FLAIR magnetic resonance.
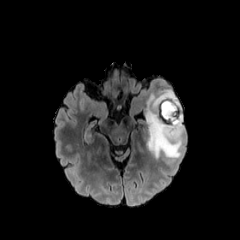
T1-weighted MR.
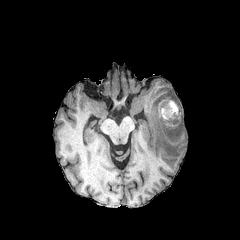
Post-contrast T1-weighted MRI.
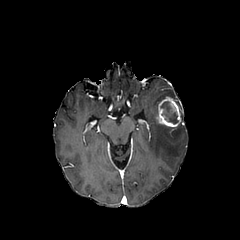
T2-weighted MR.
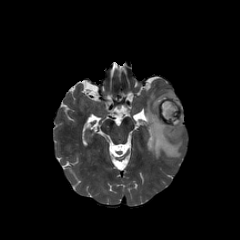
Head. Axial slice. 240x240 px.
necrotic tumor core: bounding box (left=160, top=101, right=178, bottom=124)
peritumoral edema: bounding box (left=145, top=89, right=184, bottom=158)
enhancing tumor: bounding box (left=155, top=96, right=181, bottom=127)